FLAIR magnetic resonance.
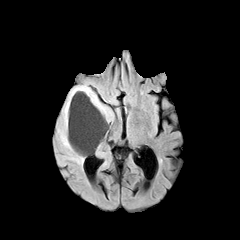
T1-weighted MR image.
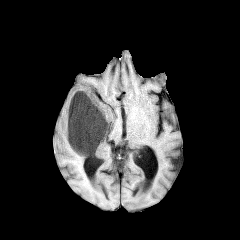
Post-contrast T1-weighted MR.
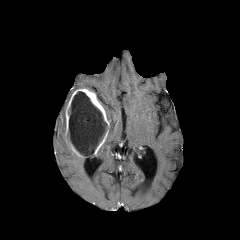
T2-weighted magnetic resonance.
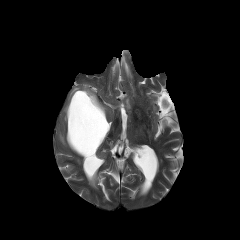
Axial plane, Brain
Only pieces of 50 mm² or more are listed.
necrotic tumor core = [67,91,107,155]
peritumoral edema = [58,83,92,151], [101,103,113,122], [70,153,91,163]
enhancing tumor = [65,88,110,155]